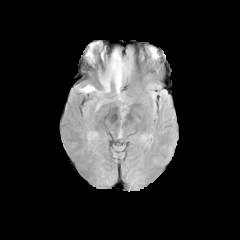
FLAIR MR image.
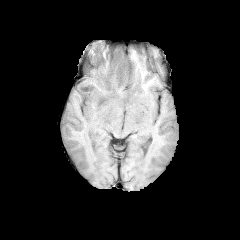
T1-weighted MR of the same slice.
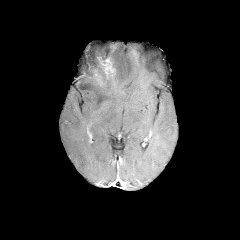
Post-contrast T1-weighted MR image of the same slice.
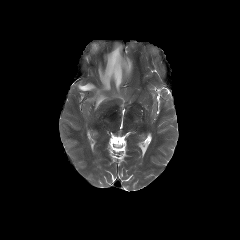
T2-weighted magnetic resonance.
Brain
{
  "enhancing_tumor": [
    "(x1=94, y1=69, x2=106, y2=87)",
    "(x1=96, y1=57, x2=116, y2=79)"
  ],
  "peritumoral_edema": [
    "(x1=78, y1=48, x2=131, y2=111)"
  ]
}